Head
FLAIR MR.
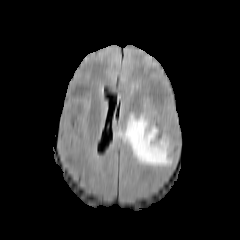
T1-weighted MR image.
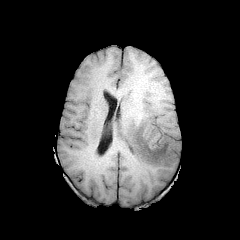
Post-contrast T1-weighted MR image.
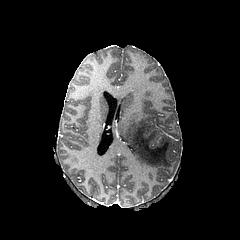
T2-weighted MR image.
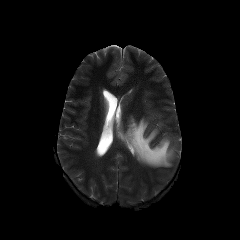
peritumoral edema: box=[120, 114, 172, 167]